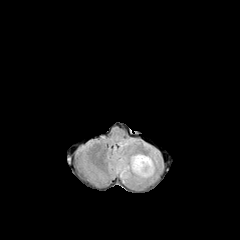
FLAIR magnetic resonance.
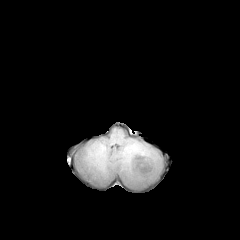
T1-weighted MRI of the same slice.
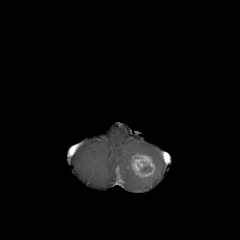
Post-contrast T1-weighted magnetic resonance.
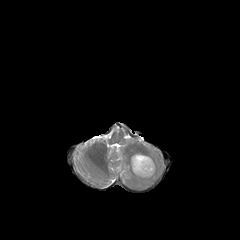
T2-weighted MR.
Axial slice
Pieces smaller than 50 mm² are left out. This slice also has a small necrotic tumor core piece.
<segmentation>
  <enhancing_tumor>131,154,155,178</enhancing_tumor>
  <peritumoral_edema>110,143,160,183; 120,139,133,149</peritumoral_edema>
</segmentation>